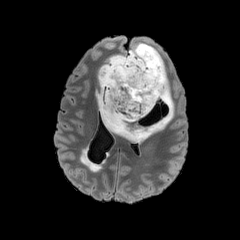
FLAIR magnetic resonance.
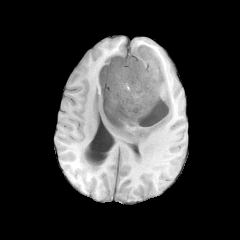
Same slice, T1-weighted MR image.
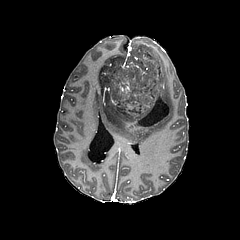
Post-contrast T1-weighted magnetic resonance of the same slice.
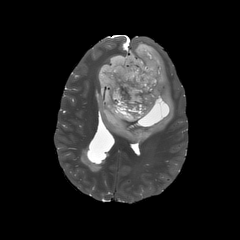
T2-weighted MR image of the same slice.
Axial plane
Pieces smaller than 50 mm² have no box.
{
  "necrotic_tumor_core": [
    "(100,51,171,127)"
  ],
  "peritumoral_edema": [
    "(96,42,174,142)"
  ]
}